Image size 240x240, Slice index 57, Axial plane, Image covers 240 mm x 240 mm
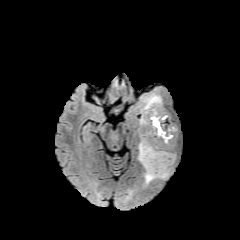
FLAIR MRI.
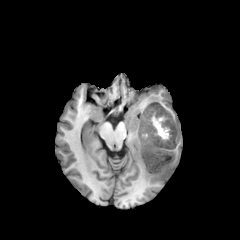
T1-weighted MR.
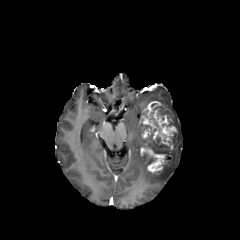
Post-contrast T1-weighted MR of the same slice.
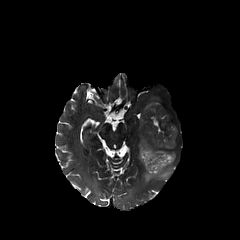
T2-weighted magnetic resonance of the same slice.
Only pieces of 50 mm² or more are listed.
necrotic tumor core: bbox(144, 112, 170, 162); bbox(143, 153, 156, 164); bbox(153, 106, 172, 126)
peritumoral edema: bbox(138, 135, 175, 183); bbox(141, 94, 161, 114)
enhancing tumor: bbox(140, 101, 176, 173)